Slice 66/155, Brain
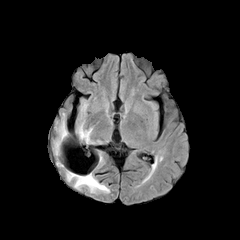
FLAIR magnetic resonance.
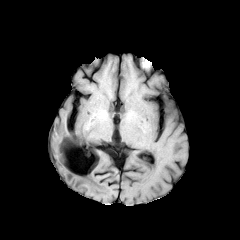
T1-weighted MRI of the same slice.
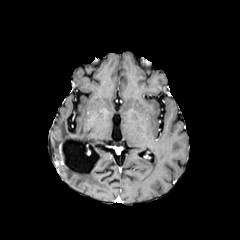
Post-contrast T1-weighted MR.
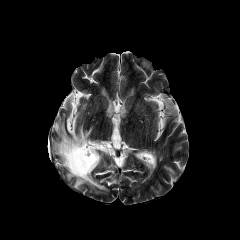
T2-weighted MR image.
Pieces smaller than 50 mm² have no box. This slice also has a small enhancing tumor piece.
<segmentation>
  <peritumoral_edema>(left=54, top=120, right=67, bottom=154), (left=79, top=127, right=92, bottom=141), (left=67, top=171, right=108, bottom=191)</peritumoral_edema>
</segmentation>